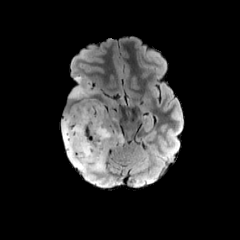
FLAIR MR.
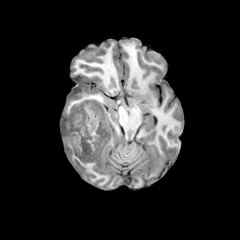
T1-weighted MRI of the same slice.
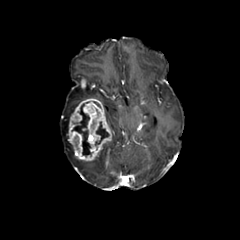
Post-contrast T1-weighted MR.
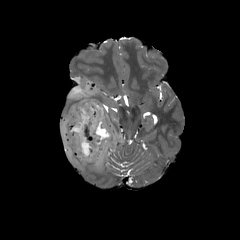
Same slice, T2-weighted MRI.
Head
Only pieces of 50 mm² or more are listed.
enhancing_tumor:
  - [80, 78, 86, 88]
  - [67, 98, 112, 161]
necrotic_tumor_core:
  - [72, 104, 91, 155]
  - [95, 122, 108, 145]
peritumoral_edema:
  - [62, 106, 121, 170]
  - [69, 77, 96, 99]